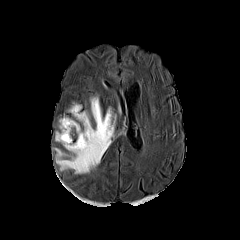
FLAIR MRI.
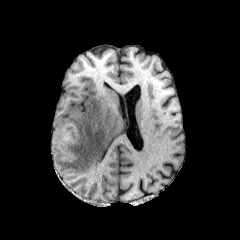
Same slice, T1-weighted MRI.
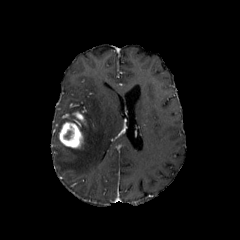
Post-contrast T1-weighted MR image.
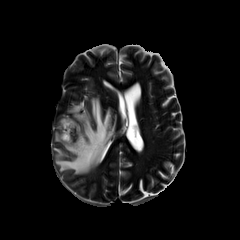
T2-weighted magnetic resonance of the same slice.
Image size 240x240 | Head
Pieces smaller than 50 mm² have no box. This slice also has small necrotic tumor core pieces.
Annotated regions:
* enhancing tumor: [x1=59, y1=111, x2=84, y2=148]
* peritumoral edema: [x1=68, y1=105, x2=81, y2=113], [x1=54, y1=97, x2=115, y2=174], [x1=59, y1=118, x2=73, y2=129]